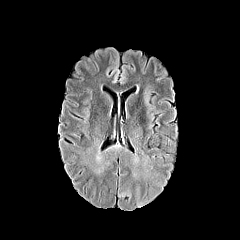
FLAIR magnetic resonance.
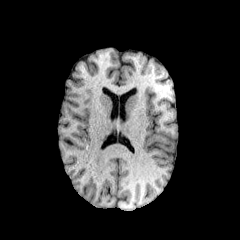
Same slice, T1-weighted magnetic resonance.
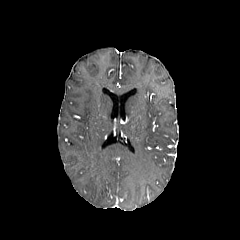
Same slice, post-contrast T1-weighted magnetic resonance.
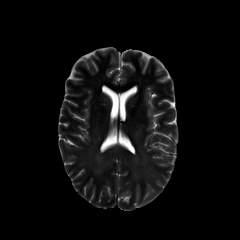
T2-weighted MR image of the same slice.
Brain.
peritumoral_edema:
  - bbox(78, 127, 152, 180)